Slice 59/155, 240x240 px
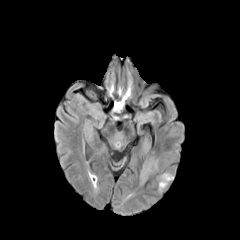
FLAIR MR.
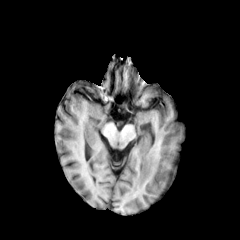
T1-weighted magnetic resonance of the same slice.
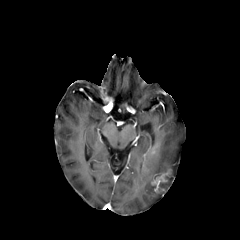
Post-contrast T1-weighted MRI of the same slice.
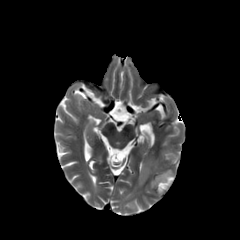
T2-weighted MRI.
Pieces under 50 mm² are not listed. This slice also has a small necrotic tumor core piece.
{
  "enhancing_tumor": [
    "[x1=151, y1=169, x2=173, y2=196]"
  ],
  "peritumoral_edema": [
    "[x1=140, y1=157, x2=160, y2=183]"
  ]
}